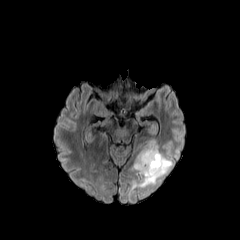
FLAIR magnetic resonance.
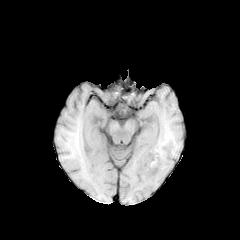
T1-weighted magnetic resonance.
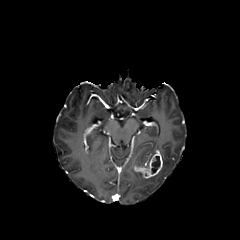
Same slice, post-contrast T1-weighted MR.
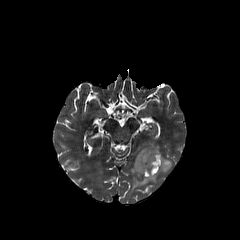
Same slice, T2-weighted MR.
Brain
Findings:
* necrotic tumor core: (152, 156, 160, 173)
* peritumoral edema: (131, 141, 173, 189)
* enhancing tumor: (134, 150, 163, 178)